FLAIR MRI.
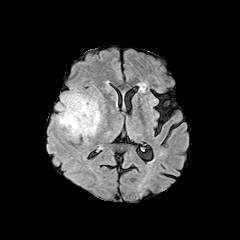
T1-weighted MRI.
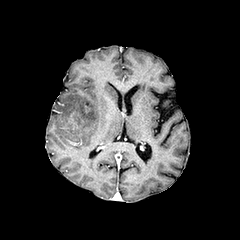
Post-contrast T1-weighted MR image.
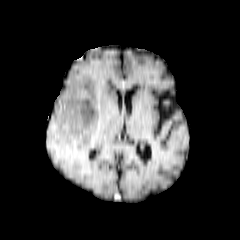
T2-weighted MR.
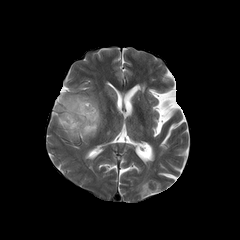
Image size 240x240 | Axial slice
<segmentation>
  <peritumoral_edema>56:91:102:141</peritumoral_edema>
  <necrotic_tumor_core>62:114:82:130</necrotic_tumor_core>
</segmentation>